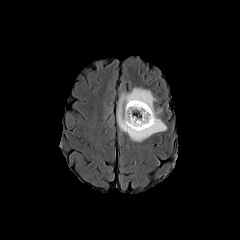
FLAIR MR image.
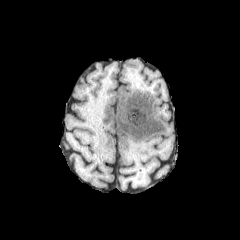
T1-weighted MR image.
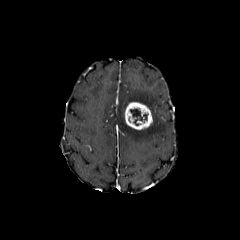
Post-contrast T1-weighted magnetic resonance of the same slice.
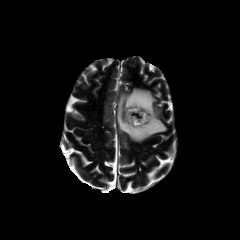
Same slice, T2-weighted MRI.
Axial plane; Brain
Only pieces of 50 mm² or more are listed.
enhancing tumor: 124:102:153:130 | necrotic tumor core: 130:109:142:125 | peritumoral edema: 117:88:166:142